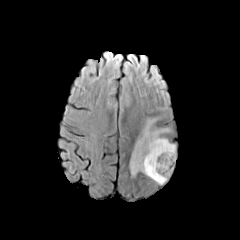
FLAIR MR image.
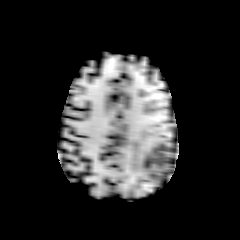
T1-weighted MR of the same slice.
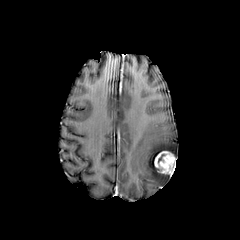
Same slice, post-contrast T1-weighted magnetic resonance.
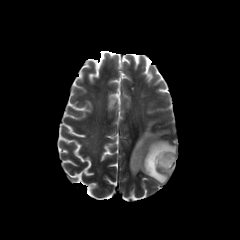
T2-weighted MR image of the same slice.
Head. Axial slice.
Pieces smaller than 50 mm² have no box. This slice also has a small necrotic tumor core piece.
<segmentation>
  <enhancing_tumor>[154,151,176,173]</enhancing_tumor>
  <peritumoral_edema>[130,120,175,184]</peritumoral_edema>
</segmentation>